Brain
FLAIR MR.
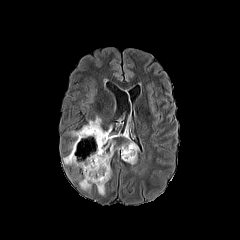
T1-weighted MRI.
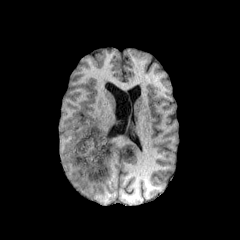
Post-contrast T1-weighted magnetic resonance.
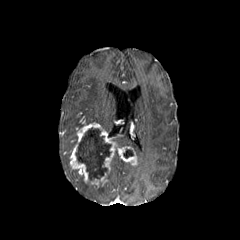
T2-weighted MRI.
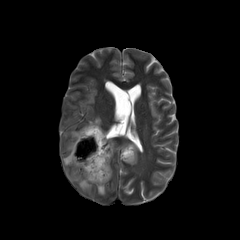
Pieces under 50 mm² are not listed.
{
  "enhancing_tumor": [
    "bbox=[69, 122, 137, 186]"
  ],
  "necrotic_tumor_core": [
    "bbox=[123, 149, 133, 158]",
    "bbox=[76, 127, 111, 180]"
  ],
  "peritumoral_edema": [
    "bbox=[63, 153, 70, 164]",
    "bbox=[79, 176, 91, 191]",
    "bbox=[89, 116, 101, 124]",
    "bbox=[97, 185, 105, 195]",
    "bbox=[121, 142, 138, 153]"
  ]
}